FLAIR MR image.
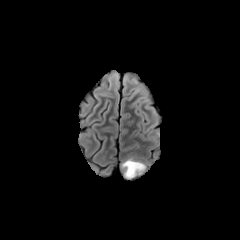
T1-weighted MRI.
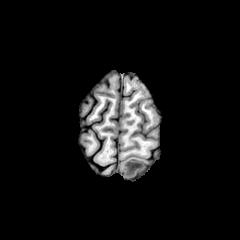
Post-contrast T1-weighted magnetic resonance.
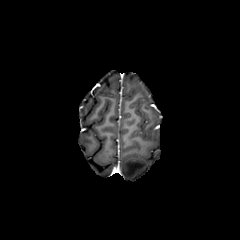
T2-weighted MR.
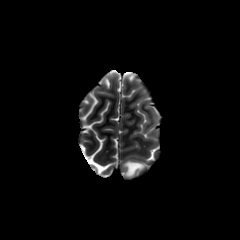
Head
peritumoral edema at <box>122,160,145,178</box>